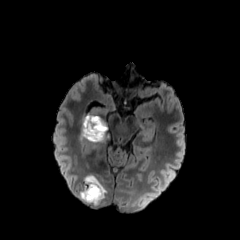
FLAIR MR.
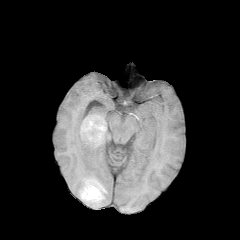
T1-weighted magnetic resonance of the same slice.
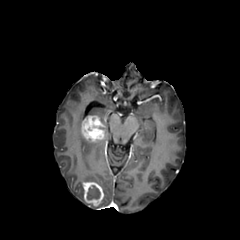
Same slice, post-contrast T1-weighted magnetic resonance.
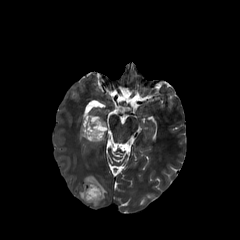
T2-weighted magnetic resonance of the same slice.
Head, Axial view
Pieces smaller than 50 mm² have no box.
{"peritumoral_edema": ["[83,174,107,198]", "[79,116,109,146]"], "enhancing_tumor": ["[81,116,105,141]", "[83,181,104,205]"], "necrotic_tumor_core": ["[87,185,100,199]"]}